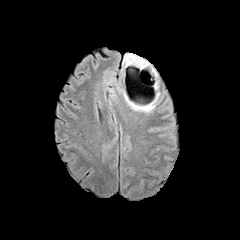
FLAIR MRI.
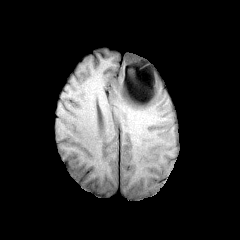
Same slice, T1-weighted MR.
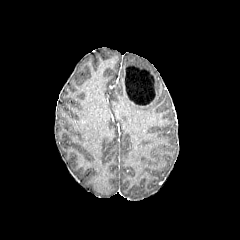
Post-contrast T1-weighted magnetic resonance of the same slice.
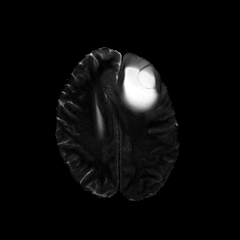
Same slice, T2-weighted MR image.
240x240 px | Brain
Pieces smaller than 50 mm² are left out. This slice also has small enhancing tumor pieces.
Annotated regions:
- necrotic tumor core: rect(125, 64, 155, 106)
- peritumoral edema: rect(124, 92, 159, 112); rect(124, 54, 156, 74)